Slice index 36. Head. Image size 240x240.
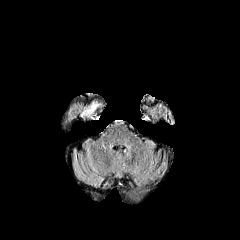
FLAIR MR.
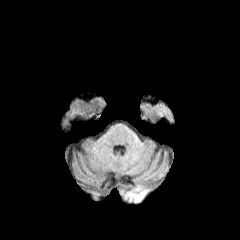
T1-weighted MR of the same slice.
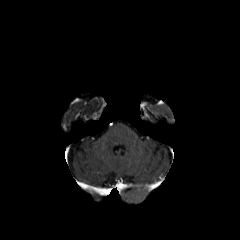
Post-contrast T1-weighted magnetic resonance.
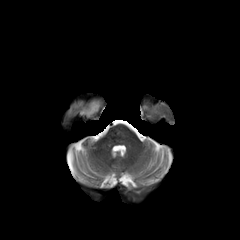
T2-weighted magnetic resonance.
The peritumoral edema is bounded by bbox(80, 100, 101, 117).